FLAIR MRI.
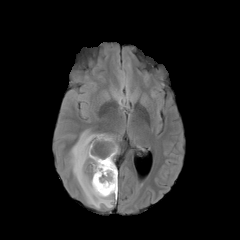
T1-weighted MR.
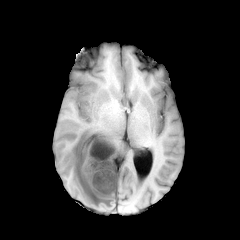
Post-contrast T1-weighted MR image.
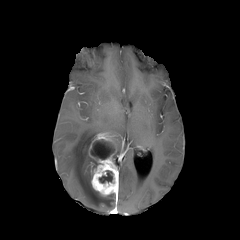
T2-weighted MRI.
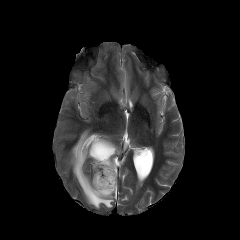
Head. 240x240.
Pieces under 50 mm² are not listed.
necrotic tumor core: bounding box [92, 139, 115, 159], [99, 170, 112, 183]
peritumoral edema: bounding box [109, 135, 118, 158], [68, 129, 116, 208]
enhancing tumor: bounding box [89, 133, 118, 196]